FLAIR MR image.
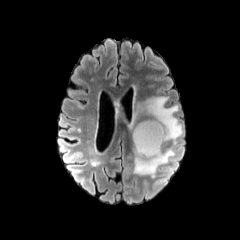
T1-weighted MR.
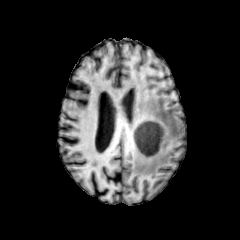
Post-contrast T1-weighted magnetic resonance.
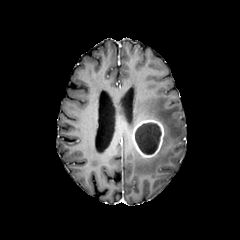
T2-weighted MR image.
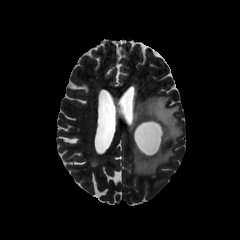
Head
{"peritumoral_edema": ["119,96,182,144", "134,148,174,176"], "necrotic_tumor_core": ["135,123,161,154"], "enhancing_tumor": ["132,119,164,158"]}